Brain
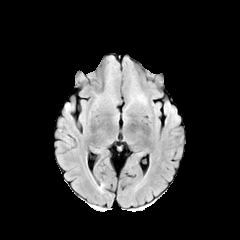
FLAIR MR image.
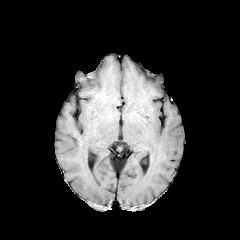
T1-weighted MR.
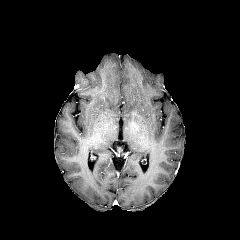
Post-contrast T1-weighted magnetic resonance.
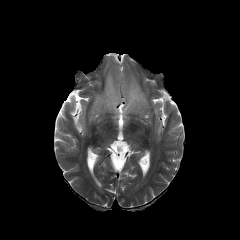
T2-weighted magnetic resonance of the same slice.
peritumoral edema = x1=124 y1=76 x2=147 y2=112, x1=107 y1=73 x2=117 y2=104